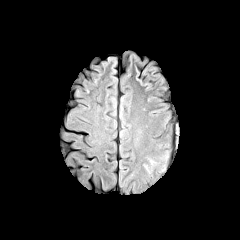
FLAIR MRI.
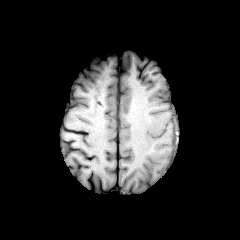
T1-weighted MR of the same slice.
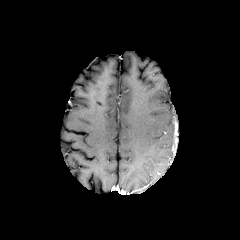
Post-contrast T1-weighted MR.
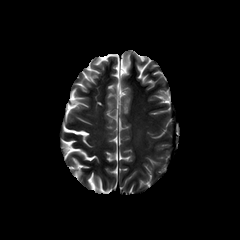
T2-weighted magnetic resonance.
Axial view, Brain
peritumoral_edema:
  - x1=142, y1=150, x2=171, y2=175